240x240. Axial plane. Brain.
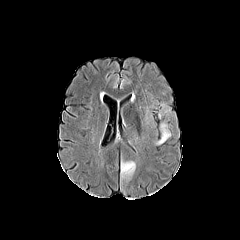
FLAIR MR image.
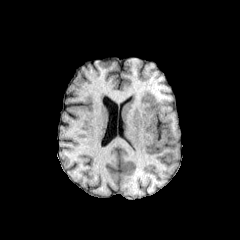
T1-weighted MR.
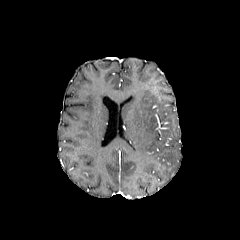
Same slice, post-contrast T1-weighted MR image.
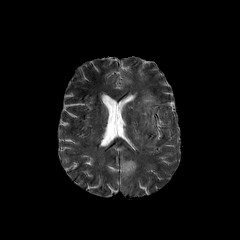
T2-weighted MR image of the same slice.
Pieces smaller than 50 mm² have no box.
<segmentation>
  <peritumoral_edema>(left=121, top=161, right=135, bottom=178), (left=157, top=122, right=170, bottom=144)</peritumoral_edema>
</segmentation>